FLAIR magnetic resonance.
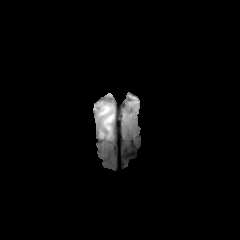
T1-weighted MR image.
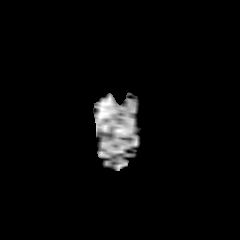
Post-contrast T1-weighted MR image.
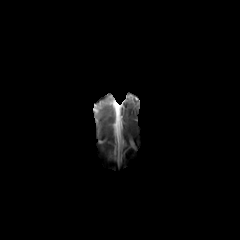
T2-weighted MR image.
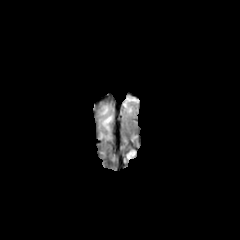
Head | Image size 240x240
peritumoral edema: l=97, t=103, r=114, b=139